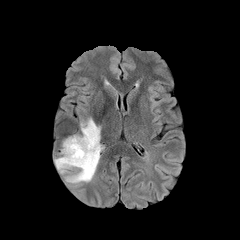
FLAIR magnetic resonance.
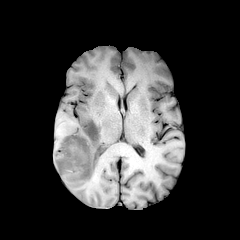
T1-weighted magnetic resonance.
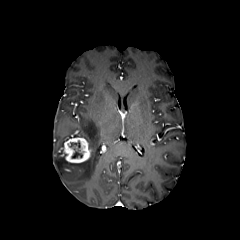
Post-contrast T1-weighted MR.
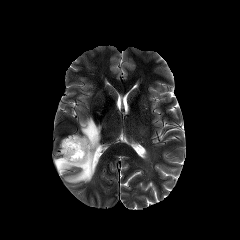
Same slice, T2-weighted magnetic resonance.
Head | Axial view
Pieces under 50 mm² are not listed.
necrotic tumor core at l=72, t=150, r=82, b=158
enhancing tumor at l=61, t=136, r=91, b=163
peritumoral edema at l=54, t=118, r=101, b=182